FLAIR magnetic resonance.
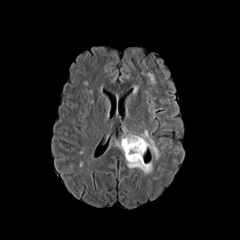
T1-weighted MR image.
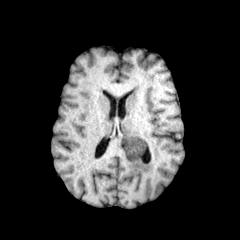
Post-contrast T1-weighted MR image.
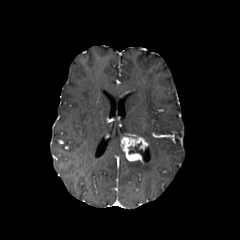
T2-weighted magnetic resonance.
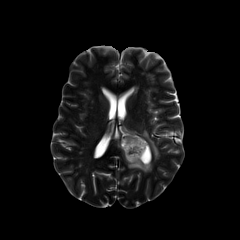
240x240 px
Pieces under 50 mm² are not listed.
enhancing tumor: bbox=[121, 134, 148, 162]
peritumoral edema: bbox=[137, 130, 159, 159]; bbox=[126, 158, 152, 174]
necrotic tumor core: bbox=[128, 143, 143, 156]